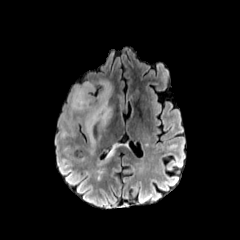
FLAIR magnetic resonance.
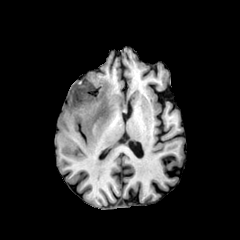
T1-weighted MR.
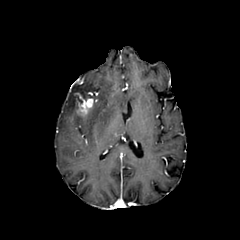
Post-contrast T1-weighted MR.
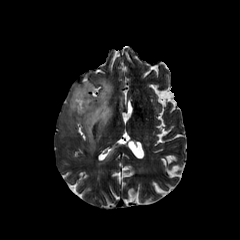
T2-weighted MR of the same slice.
240x240 | Axial plane | Head
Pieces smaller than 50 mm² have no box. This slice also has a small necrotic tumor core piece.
{
  "enhancing_tumor": [
    "l=74, t=92, r=94, b=116"
  ],
  "peritumoral_edema": [
    "l=68, t=79, r=113, b=151"
  ]
}